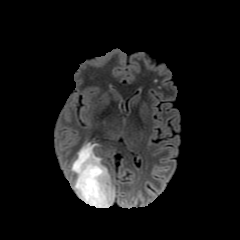
FLAIR MRI.
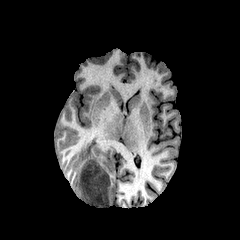
T1-weighted MR.
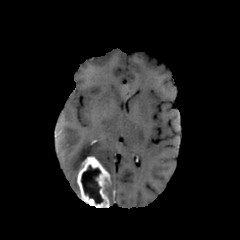
Post-contrast T1-weighted MR.
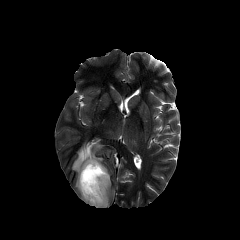
T2-weighted magnetic resonance.
Head | Axial plane
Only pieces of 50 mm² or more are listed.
The necrotic tumor core lies within [81,165,103,203]. The 3 largest peritumoral edema regions appear at [71,142,102,174], [108,180,114,205], [73,178,79,195]. The enhancing tumor is at [77,156,110,207].